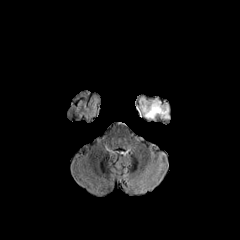
FLAIR MRI.
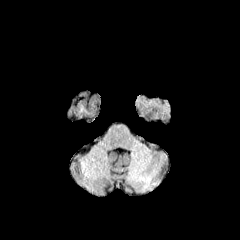
T1-weighted MR image of the same slice.
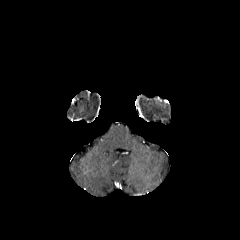
Post-contrast T1-weighted MR.
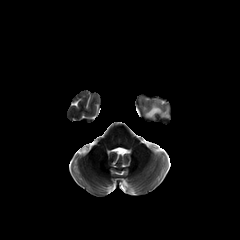
T2-weighted MR image of the same slice.
Axial view. Head.
The peritumoral edema is located at <bbox>141, 100, 169, 118</bbox>.